Axial view | 240x240 px
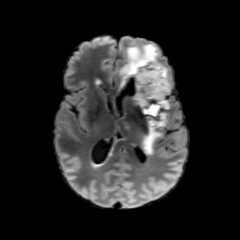
FLAIR MR image.
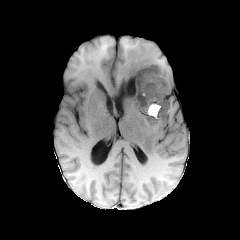
Same slice, T1-weighted MR image.
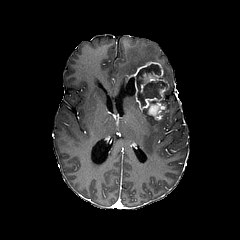
Post-contrast T1-weighted magnetic resonance of the same slice.
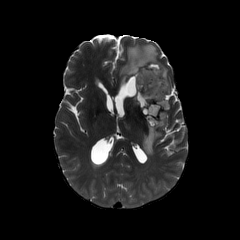
T2-weighted MR image.
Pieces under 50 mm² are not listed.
peritumoral edema: (142,111,166,154), (161,64,170,92), (119,42,159,89) | necrotic tumor core: (147,105,158,124), (136,64,166,105) | enhancing tumor: (124,62,168,123)